Axial plane. Head. Slice 110 of 155. 240x240 px.
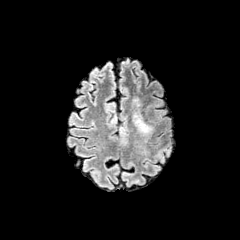
FLAIR MR.
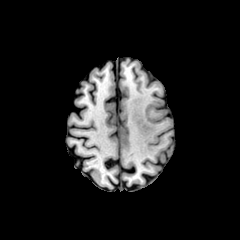
T1-weighted MR.
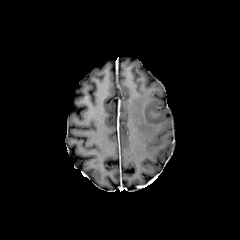
Post-contrast T1-weighted MR image.
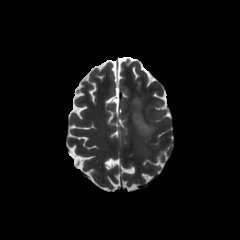
T2-weighted magnetic resonance of the same slice.
The peritumoral edema is bounded by [132, 98, 153, 138].